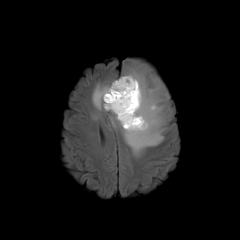
FLAIR magnetic resonance.
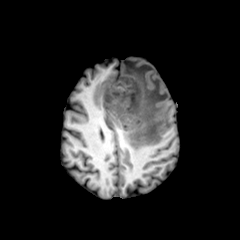
T1-weighted MR of the same slice.
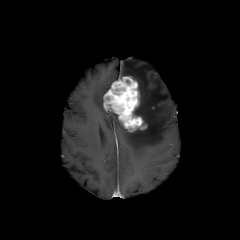
Post-contrast T1-weighted MR.
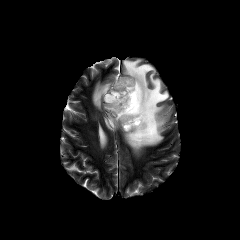
T2-weighted MRI.
Brain.
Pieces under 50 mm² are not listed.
The enhancing tumor is located at 103, 76, 147, 131. The 2 largest peritumoral edema regions are located at 92, 83, 111, 110; 109, 62, 170, 156. The largest necrotic tumor core region is located at 105, 92, 119, 102.